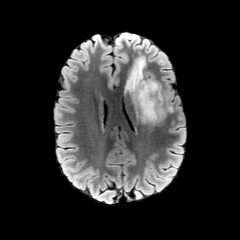
FLAIR MR image.
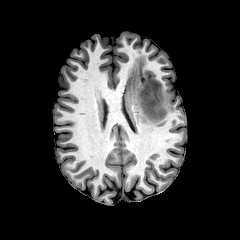
Same slice, T1-weighted magnetic resonance.
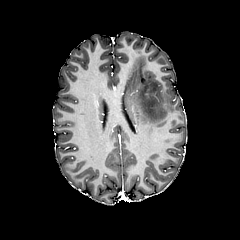
Post-contrast T1-weighted magnetic resonance of the same slice.
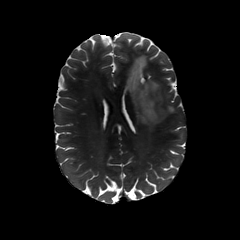
T2-weighted magnetic resonance.
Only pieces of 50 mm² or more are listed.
peritumoral edema: left=125, top=57, right=165, bottom=124